240x240 px | Image width 240 mm | Head | Axial plane
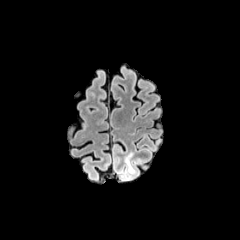
FLAIR MRI.
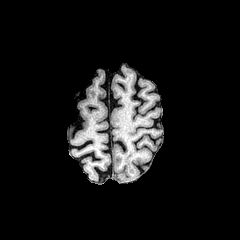
T1-weighted MR.
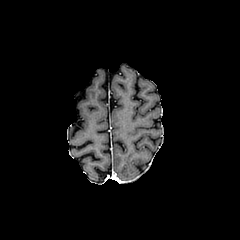
Same slice, post-contrast T1-weighted MR image.
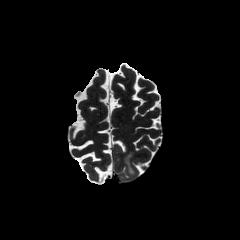
T2-weighted MR of the same slice.
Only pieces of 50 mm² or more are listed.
peritumoral edema: (125, 157, 134, 173)